FLAIR MRI.
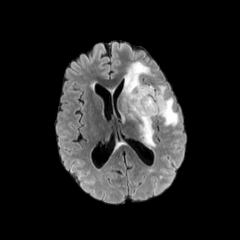
T1-weighted MR.
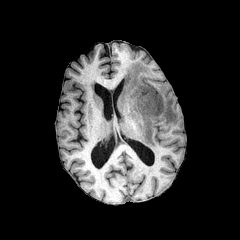
Post-contrast T1-weighted magnetic resonance.
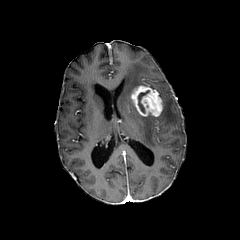
T2-weighted magnetic resonance.
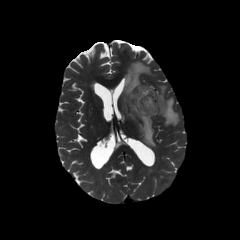
Axial view. Head.
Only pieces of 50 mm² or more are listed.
The 2 largest peritumoral edema regions are located at 123, 61, 155, 146; 159, 86, 178, 126. The necrotic tumor core is at 138, 90, 149, 112. The enhancing tumor is located at 131, 85, 163, 116.